Slice 89 of 155, Axial view, Head
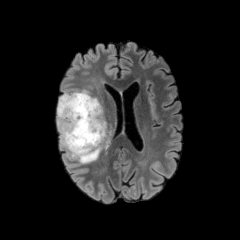
FLAIR magnetic resonance.
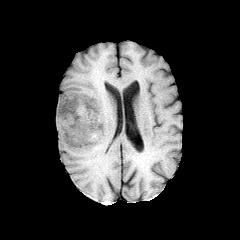
T1-weighted MR image.
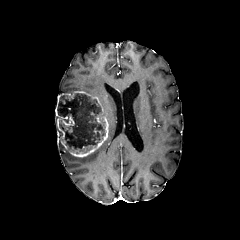
Post-contrast T1-weighted magnetic resonance.
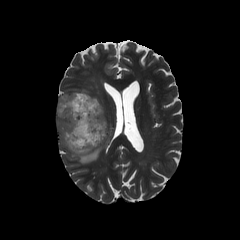
T2-weighted MR image.
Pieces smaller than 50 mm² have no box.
Segmented structures:
- enhancing tumor: box(56, 91, 108, 157)
- peritumoral edema: box(66, 130, 111, 163)
- necrotic tumor core: box(59, 93, 105, 151)